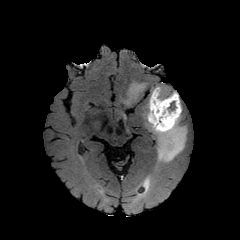
FLAIR MRI.
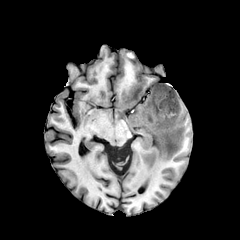
T1-weighted magnetic resonance of the same slice.
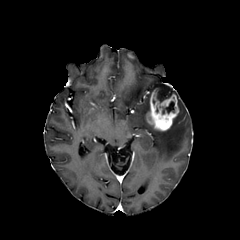
Post-contrast T1-weighted MR image.
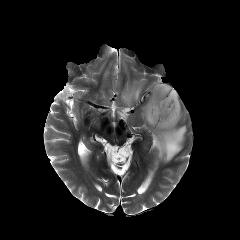
T2-weighted magnetic resonance.
Head. 240x240. Axial view.
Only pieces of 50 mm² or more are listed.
peritumoral_edema:
  - [148,85,186,165]
  - [124,82,144,105]
enhancing_tumor:
  - [146,89,179,130]
necrotic_tumor_core:
  - [162,101,174,113]